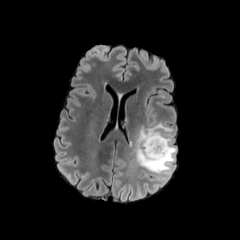
FLAIR MRI.
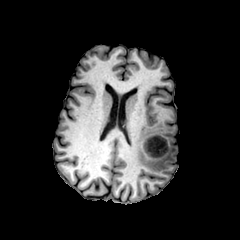
T1-weighted MR of the same slice.
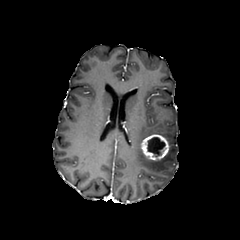
Post-contrast T1-weighted magnetic resonance.
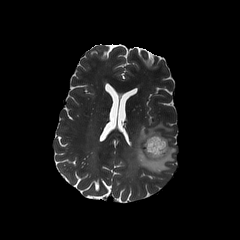
T2-weighted magnetic resonance of the same slice.
Axial slice, 240x240
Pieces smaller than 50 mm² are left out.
peritumoral edema: bounding box [134, 121, 176, 173]
enhancing tumor: bounding box [141, 134, 169, 160]
necrotic tumor core: bounding box [147, 136, 165, 156]